Slice index 65; Brain; Image covers 240 mm x 240 mm
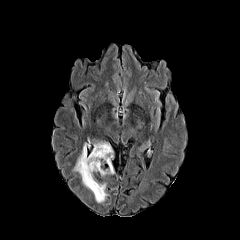
FLAIR MR.
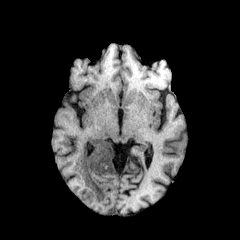
Same slice, T1-weighted MRI.
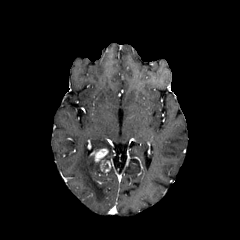
Post-contrast T1-weighted MRI.
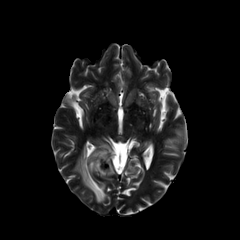
T2-weighted magnetic resonance of the same slice.
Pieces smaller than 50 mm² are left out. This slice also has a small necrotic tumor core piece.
2 enhancing tumor regions appear at l=100, t=160, r=110, b=172; l=90, t=148, r=108, b=162. 2 peritumoral edema regions appear at l=73, t=142, r=109, b=202; l=92, t=140, r=115, b=174.